Axial view, Brain
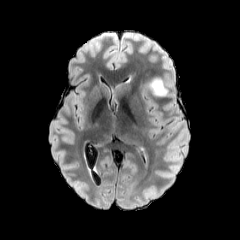
FLAIR MR image.
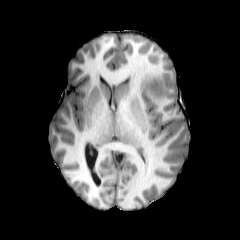
Same slice, T1-weighted MR image.
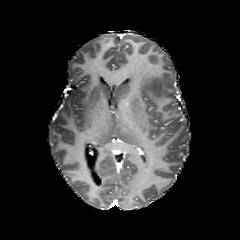
Same slice, post-contrast T1-weighted MR image.
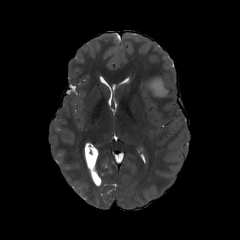
T2-weighted MR image.
• peritumoral edema: l=142, t=76, r=168, b=97